FLAIR MR image.
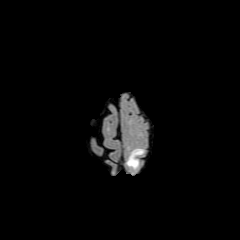
T1-weighted magnetic resonance.
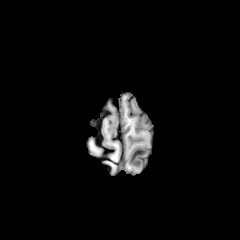
Post-contrast T1-weighted magnetic resonance.
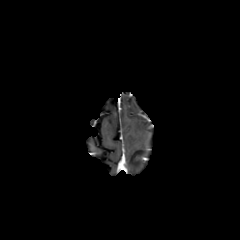
T2-weighted MR image.
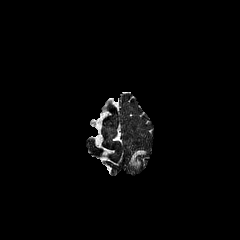
Head, 240x240
Annotated regions:
- peritumoral edema: x1=128 y1=149 x2=143 y2=167